FLAIR MR image.
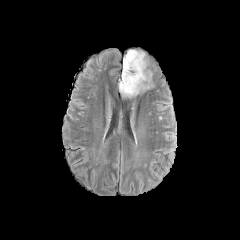
T1-weighted magnetic resonance.
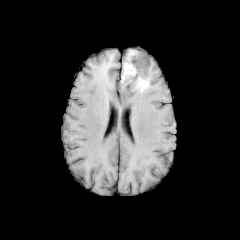
Post-contrast T1-weighted magnetic resonance.
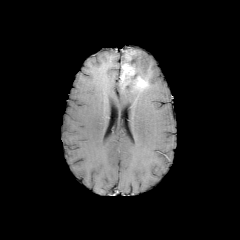
T2-weighted MR.
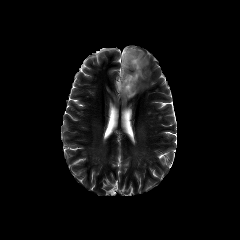
Axial view
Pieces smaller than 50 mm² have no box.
enhancing tumor at x1=120 y1=63 x2=148 y2=91, x1=125 y1=51 x2=135 y2=61
necrotic tumor core at x1=122 y1=84 x2=132 y2=91, x1=124 y1=52 x2=146 y2=80
peritumoral edema at x1=118 y1=84 x2=140 y2=97, x1=135 y1=50 x2=151 y2=83